Image width 240 mm, 1.00 mm slice spacing; Slice index 120
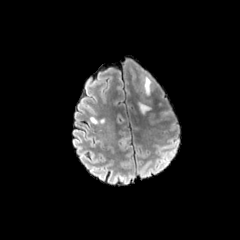
FLAIR MR.
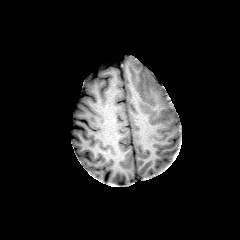
T1-weighted MR of the same slice.
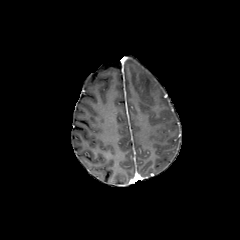
Post-contrast T1-weighted MR of the same slice.
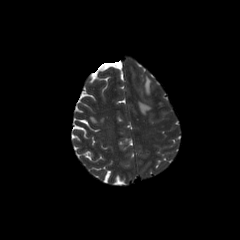
T2-weighted MR image.
peritumoral edema: bounding box (144, 76, 151, 95), (139, 103, 150, 113)